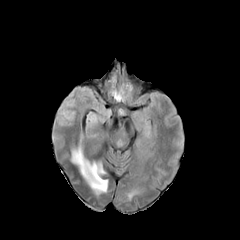
FLAIR magnetic resonance.
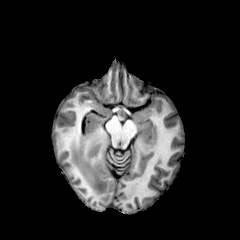
Same slice, T1-weighted MRI.
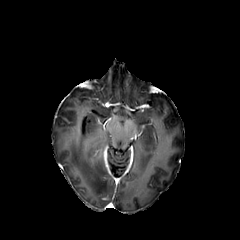
Post-contrast T1-weighted MRI.
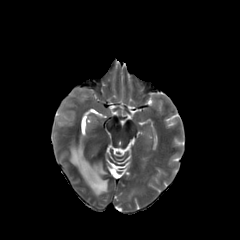
T2-weighted MR.
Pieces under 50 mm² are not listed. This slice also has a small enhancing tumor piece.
The peritumoral edema lies within x1=71 y1=140 x2=107 y2=194.